FLAIR MR image.
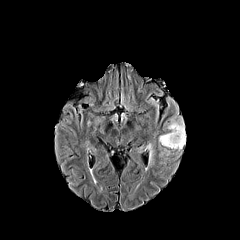
T1-weighted magnetic resonance.
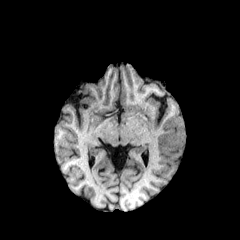
Post-contrast T1-weighted MRI.
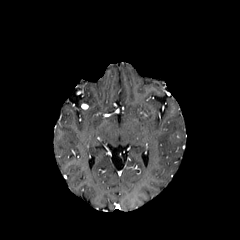
T2-weighted magnetic resonance.
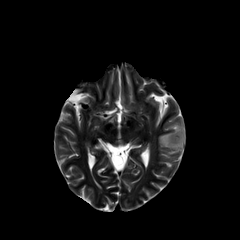
Image size 240x240. Head.
The enhancing tumor is at (x1=169, y1=132, x2=180, y2=142). The peritumoral edema lies within (x1=159, y1=118, x2=185, y2=150).